FLAIR MR image.
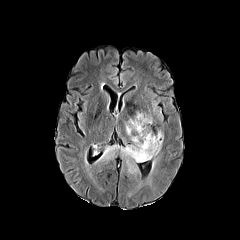
T1-weighted MRI.
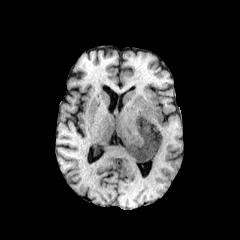
Post-contrast T1-weighted MRI.
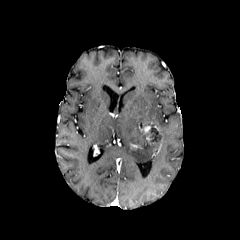
T2-weighted MR image.
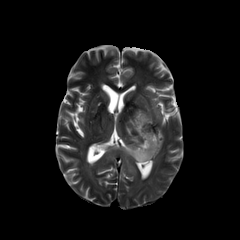
Axial view, 240x240
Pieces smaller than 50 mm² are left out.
Findings:
* necrotic tumor core: (left=144, top=127, right=161, bottom=152)
* enhancing tumor: (left=139, top=126, right=150, bottom=133)
* peritumoral edema: (left=96, top=110, right=157, bottom=173), (left=144, top=155, right=159, bottom=187)